240x240 | Image width 240 mm | Brain | Axial plane
FLAIR MR.
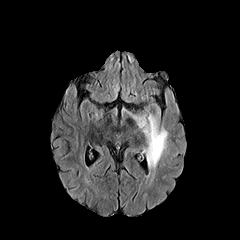
T1-weighted magnetic resonance.
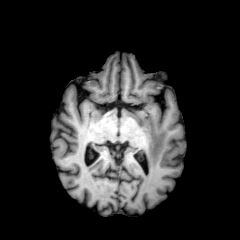
Post-contrast T1-weighted MR image.
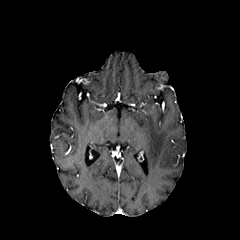
T2-weighted magnetic resonance.
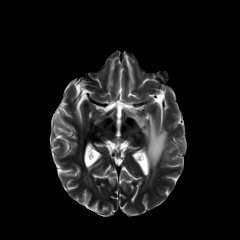
The peritumoral edema is at box(133, 106, 167, 168).